FLAIR MR image.
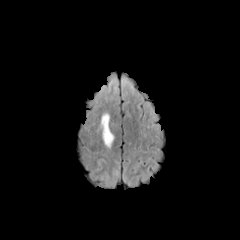
T1-weighted MR image.
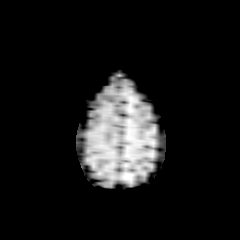
Post-contrast T1-weighted magnetic resonance.
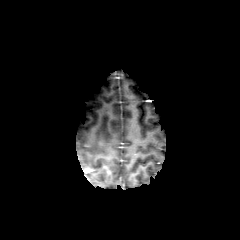
T2-weighted MR.
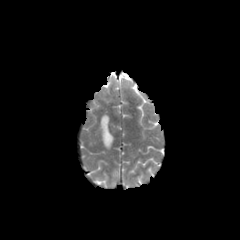
Brain; 240x240
The peritumoral edema is at [99, 114, 113, 147].